FLAIR MR image.
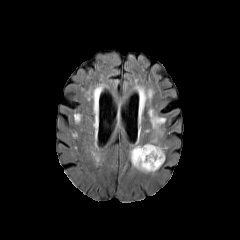
T1-weighted magnetic resonance.
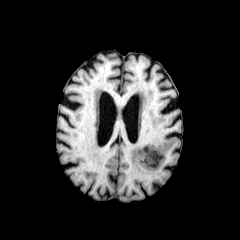
Post-contrast T1-weighted magnetic resonance.
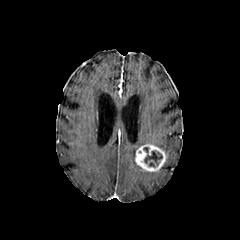
T2-weighted magnetic resonance.
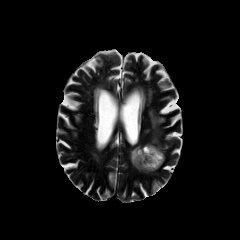
Head
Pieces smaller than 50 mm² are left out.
enhancing tumor: <bbox>135, 144, 166, 171</bbox>
necrotic tumor core: <bbox>144, 151, 162, 165</bbox>
peritumoral edema: <bbox>129, 143, 154, 173</bbox>, <bbox>147, 109, 166, 150</bbox>